Axial slice
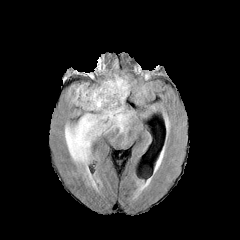
FLAIR MR.
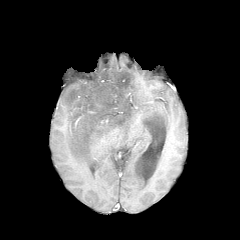
Same slice, T1-weighted magnetic resonance.
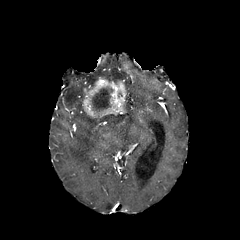
Same slice, post-contrast T1-weighted MRI.
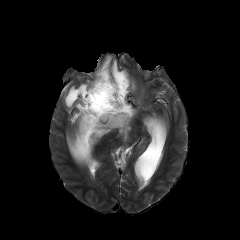
T2-weighted MR image.
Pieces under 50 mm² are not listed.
The 3 largest peritumoral edema regions appear at 65, 105, 134, 168; 96, 61, 131, 95; 66, 83, 89, 111. The necrotic tumor core lies within 92, 88, 112, 111. The enhancing tumor is bounded by 82, 76, 126, 120.